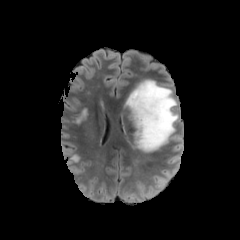
FLAIR MR.
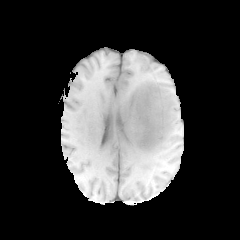
T1-weighted MRI.
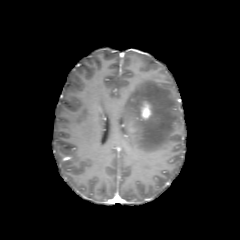
Post-contrast T1-weighted magnetic resonance.
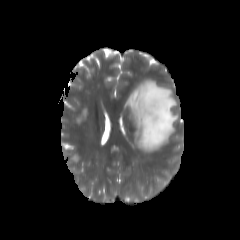
T2-weighted MR of the same slice.
Brain; Axial slice
The enhancing tumor appears at box(141, 101, 151, 119). The peritumoral edema is located at box(125, 79, 178, 152).